FLAIR MR.
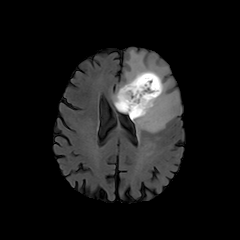
T1-weighted magnetic resonance.
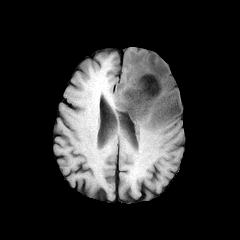
Post-contrast T1-weighted MR.
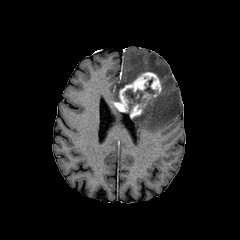
T2-weighted MR image.
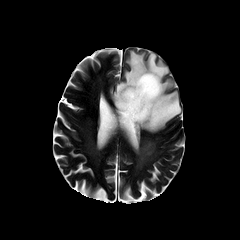
Axial view; 240x240 px; Head
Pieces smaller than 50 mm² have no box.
2 necrotic tumor core regions are located at bbox=[125, 89, 145, 111]; bbox=[144, 79, 154, 93]. The peritumoral edema is located at bbox=[111, 50, 181, 135]. The largest enhancing tumor region lies within bbox=[114, 72, 161, 118].